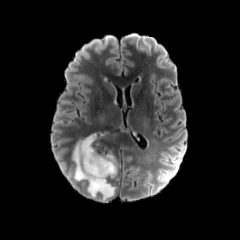
FLAIR MR image.
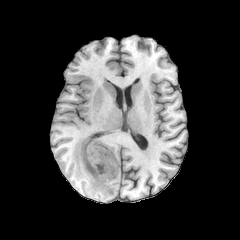
T1-weighted magnetic resonance of the same slice.
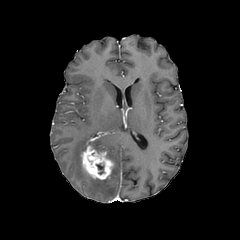
Post-contrast T1-weighted MR image.
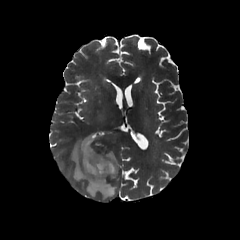
T2-weighted magnetic resonance.
Axial slice; Head; 240x240
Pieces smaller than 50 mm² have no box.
The enhancing tumor is located at left=81, top=138, right=113, bottom=180. The 2 largest peritumoral edema regions are bounded by left=107, top=152, right=117, bottom=176; left=72, top=134, right=115, bottom=199. The largest necrotic tumor core region is bounded by left=96, top=164, right=104, bottom=174.